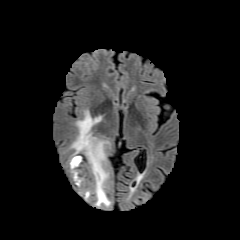
FLAIR magnetic resonance.
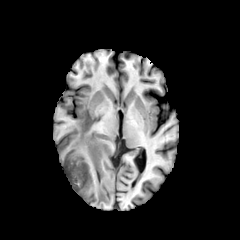
T1-weighted MR image.
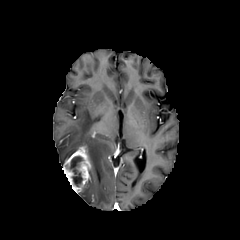
Same slice, post-contrast T1-weighted MR.
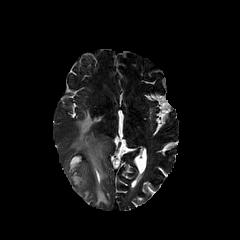
T2-weighted MRI of the same slice.
Axial plane | Brain
necrotic tumor core: bounding box {"x1": 66, "y1": 156, "x2": 83, "y2": 186}
enhancing tumor: bounding box {"x1": 63, "y1": 143, "x2": 93, "y2": 192}
peritumoral edema: bounding box {"x1": 69, "y1": 110, "x2": 110, "y2": 206}, {"x1": 80, "y1": 189, "x2": 90, "y2": 199}